Slice index 124.
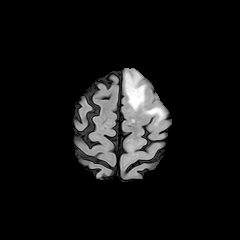
FLAIR MR image.
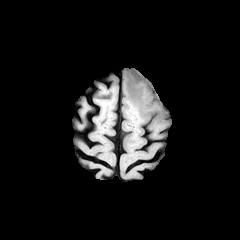
T1-weighted MRI.
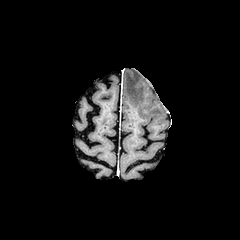
Post-contrast T1-weighted MR image.
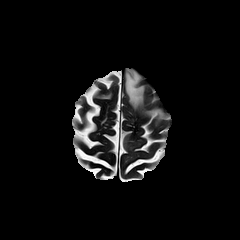
T2-weighted MR.
peritumoral edema: (left=145, top=108, right=164, bottom=121), (left=125, top=70, right=145, bottom=109)